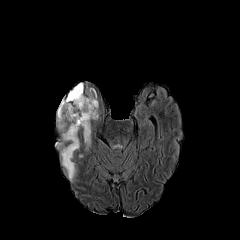
FLAIR magnetic resonance.
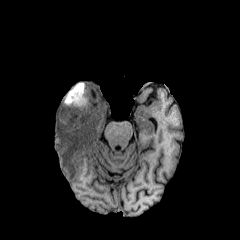
T1-weighted MRI of the same slice.
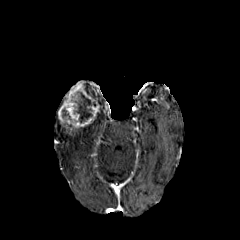
Post-contrast T1-weighted MR.
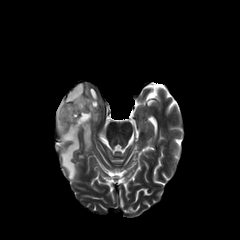
T2-weighted MR of the same slice.
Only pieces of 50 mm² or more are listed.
Findings:
* peritumoral edema: box=[56, 111, 79, 179]; box=[83, 124, 90, 150]
* enhancing tumor: box=[58, 90, 99, 134]
* necrotic tumor core: box=[65, 83, 97, 122]